Image width 240 mm, 1.00 mm slice spacing, Axial view, Slice 64/155, Brain
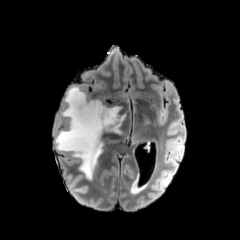
FLAIR MR.
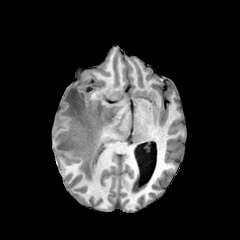
Same slice, T1-weighted magnetic resonance.
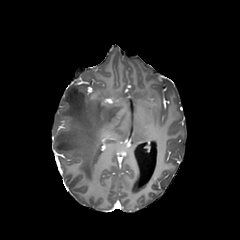
Post-contrast T1-weighted MR image of the same slice.
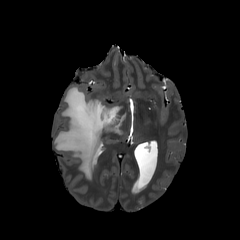
Same slice, T2-weighted MR image.
The peritumoral edema appears at (55, 86, 126, 180).